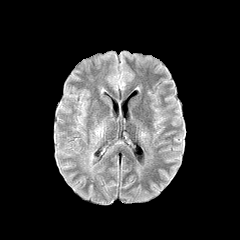
FLAIR MR image.
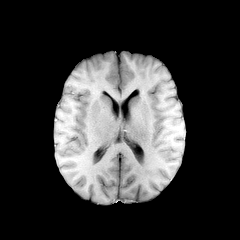
T1-weighted MRI.
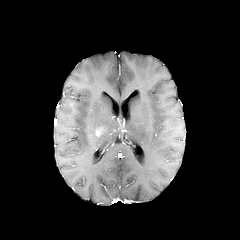
Same slice, post-contrast T1-weighted MRI.
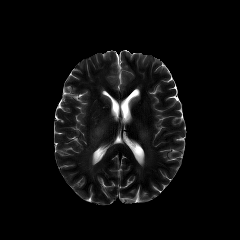
Same slice, T2-weighted magnetic resonance.
Brain.
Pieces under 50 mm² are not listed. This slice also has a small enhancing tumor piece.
{
  "peritumoral_edema": [
    "(93,125,104,141)"
  ]
}